FLAIR MR.
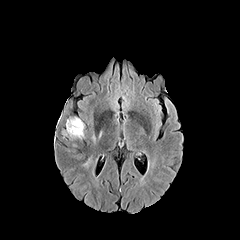
T1-weighted MR image.
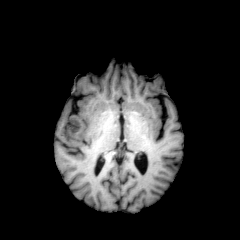
Post-contrast T1-weighted MRI.
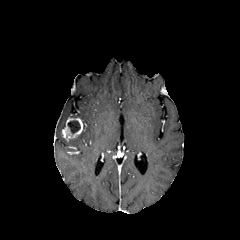
T2-weighted MR image.
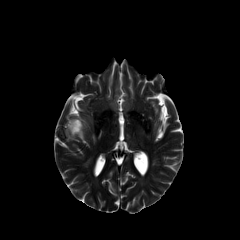
Brain, Axial plane
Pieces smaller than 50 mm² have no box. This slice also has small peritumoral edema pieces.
The enhancing tumor is bounded by bbox(62, 118, 83, 139). The necrotic tumor core is bounded by bbox(68, 121, 80, 133).